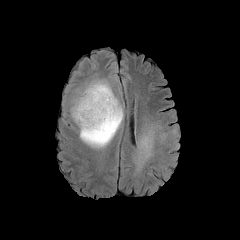
FLAIR magnetic resonance.
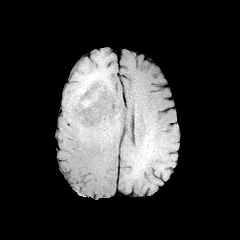
T1-weighted MRI.
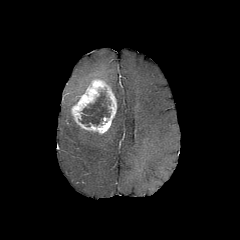
Same slice, post-contrast T1-weighted MR.
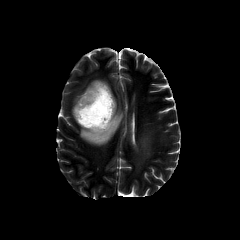
T2-weighted MR image of the same slice.
240x240
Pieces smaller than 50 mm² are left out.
<segmentation>
  <peritumoral_edema>[70,95,80,124], [77,78,123,148], [133,121,178,171]</peritumoral_edema>
  <necrotic_tumor_core>[79,91,110,126]</necrotic_tumor_core>
  <enhancing_tumor>[71,79,116,134]</enhancing_tumor>
</segmentation>